Axial slice, Brain, Image size 240x240
FLAIR MR image.
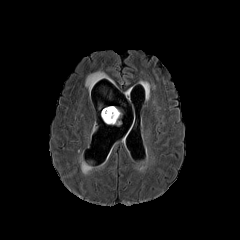
T1-weighted magnetic resonance.
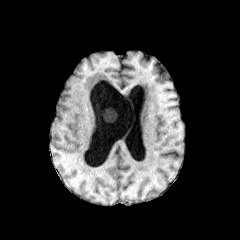
Post-contrast T1-weighted magnetic resonance.
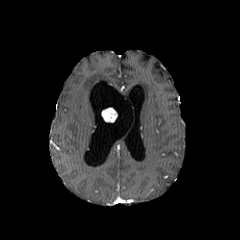
T2-weighted MR image.
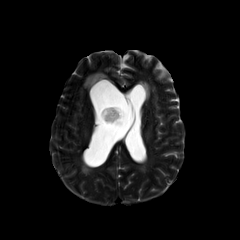
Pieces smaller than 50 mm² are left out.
enhancing tumor: (101, 107, 117, 122) | peritumoral edema: (85, 71, 113, 92)